Head
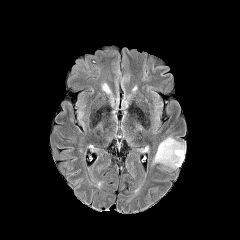
FLAIR MR image.
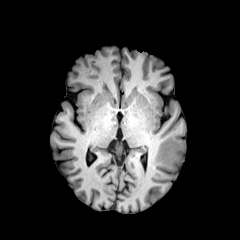
T1-weighted magnetic resonance of the same slice.
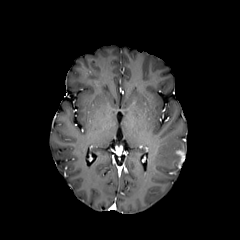
Same slice, post-contrast T1-weighted magnetic resonance.
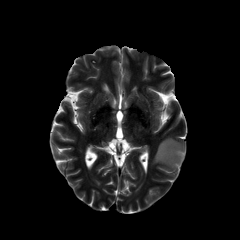
T2-weighted MR image.
The enhancing tumor is bounded by (176,149,185,167). The peritumoral edema is located at (153,137,185,168).